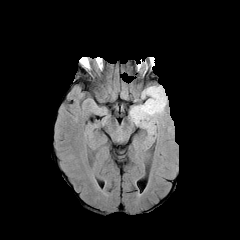
FLAIR magnetic resonance.
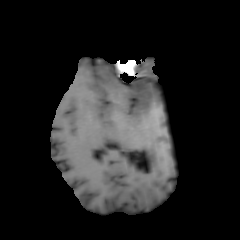
Same slice, T1-weighted MRI.
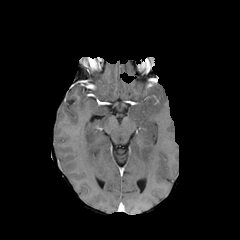
Post-contrast T1-weighted MR image.
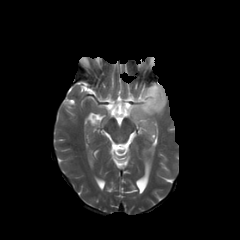
Same slice, T2-weighted MR image.
Axial plane. 240x240.
Annotated regions:
- peritumoral edema: rect(129, 85, 166, 133)